FLAIR MR image.
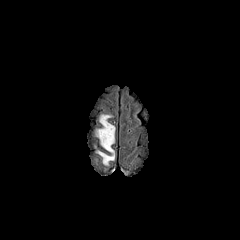
T1-weighted MR image.
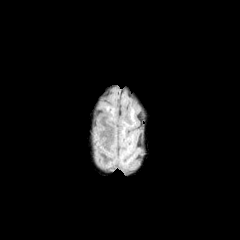
Post-contrast T1-weighted magnetic resonance.
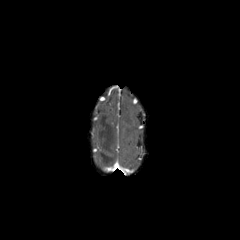
T2-weighted magnetic resonance.
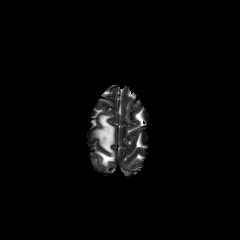
Brain. Axial view.
peritumoral_edema:
  - [96, 115, 114, 165]